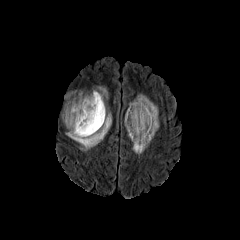
FLAIR MRI.
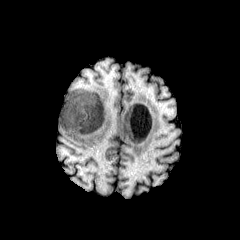
T1-weighted MR.
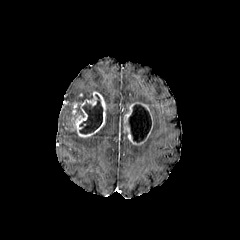
Same slice, post-contrast T1-weighted MR.
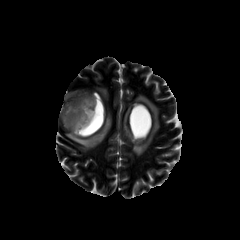
Same slice, T2-weighted MR.
Brain; Image size 240x240
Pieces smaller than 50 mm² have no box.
necrotic tumor core: rect(79, 95, 102, 134); rect(128, 104, 151, 142) | peritumoral edema: rect(129, 94, 159, 154); rect(63, 104, 71, 123); rect(97, 87, 107, 98); rect(66, 110, 111, 150) | enhancing tumor: rect(123, 102, 153, 145); rect(66, 91, 106, 137)